Axial plane, Image size 240x240
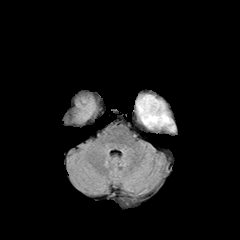
FLAIR MR.
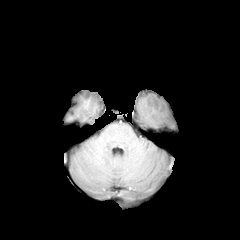
T1-weighted MR image of the same slice.
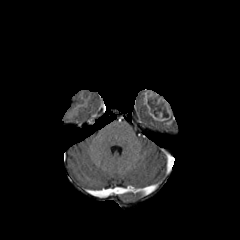
Same slice, post-contrast T1-weighted MRI.
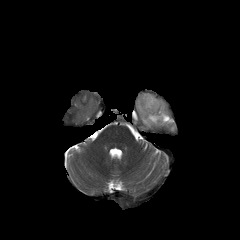
Same slice, T2-weighted magnetic resonance.
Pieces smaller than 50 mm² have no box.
peritumoral_edema:
  - <box>136,95,174,130</box>
enhancing_tumor:
  - <box>143,90,172,121</box>
necrotic_tumor_core:
  - <box>148,98,168,117</box>